FLAIR magnetic resonance.
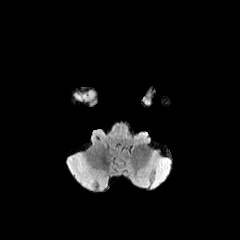
T1-weighted MR.
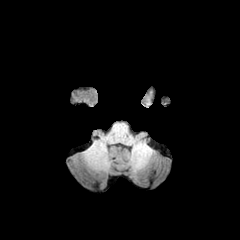
Post-contrast T1-weighted MR.
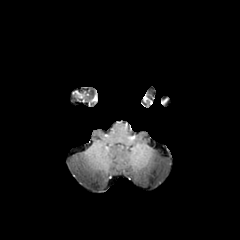
T2-weighted MR image.
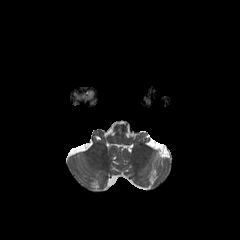
Axial slice | Head | 240x240 px
enhancing_tumor:
  - (x1=73, y1=91, x2=88, y2=101)